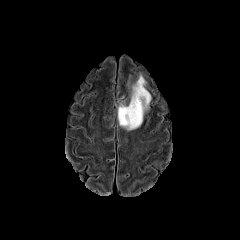
FLAIR MR.
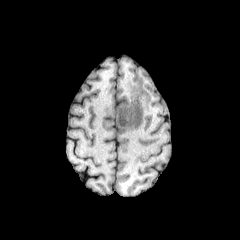
T1-weighted magnetic resonance.
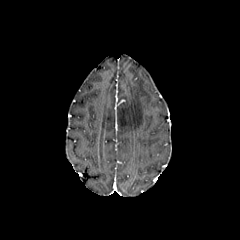
Post-contrast T1-weighted magnetic resonance.
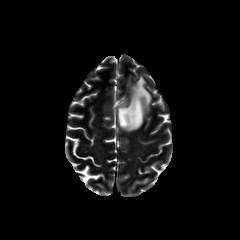
T2-weighted magnetic resonance.
Axial plane
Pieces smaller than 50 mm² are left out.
peritumoral_edema:
  - 118:75:151:130